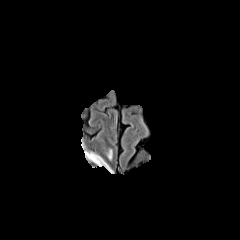
FLAIR MRI.
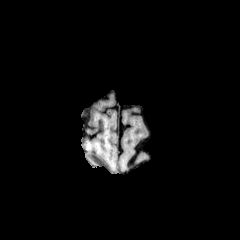
T1-weighted MRI.
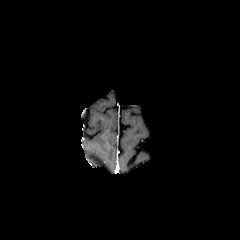
Post-contrast T1-weighted MR of the same slice.
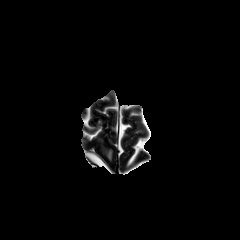
T2-weighted magnetic resonance of the same slice.
240x240 px, Axial slice
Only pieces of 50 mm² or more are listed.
peritumoral edema — rect(85, 151, 112, 172)